FLAIR MRI.
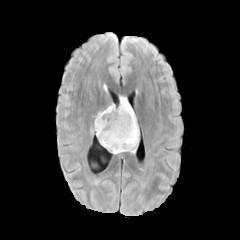
T1-weighted MR.
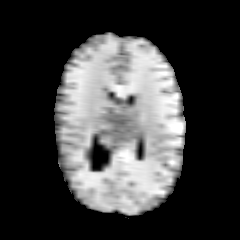
Post-contrast T1-weighted MRI.
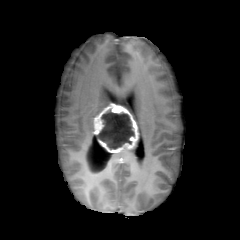
T2-weighted MR image.
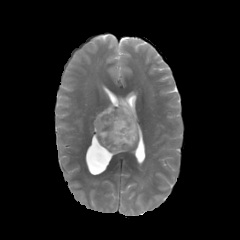
Head
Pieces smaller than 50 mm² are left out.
peritumoral edema: x1=120, y1=97, x2=137, y2=124
necrotic tumor core: x1=97, y1=110, x2=134, y2=148
enhancing tumor: x1=93, y1=103, x2=139, y2=153